Brain; Slice index 51; Axial slice
FLAIR magnetic resonance.
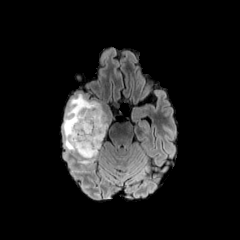
T1-weighted MR.
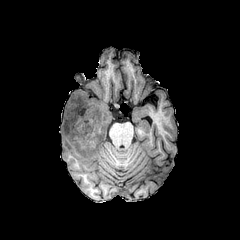
Post-contrast T1-weighted MR image.
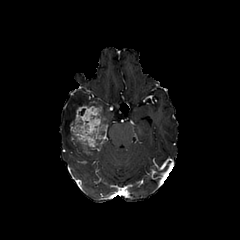
T2-weighted magnetic resonance.
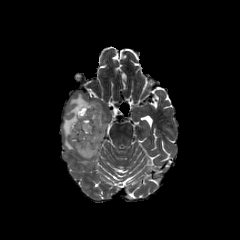
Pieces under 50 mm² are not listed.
{
  "necrotic_tumor_core": [
    "[90, 114, 104, 128]",
    "[73, 133, 84, 156]"
  ],
  "peritumoral_edema": [
    "[62, 93, 101, 158]"
  ],
  "enhancing_tumor": [
    "[69, 105, 107, 164]"
  ]
}